Axial slice. Slice 88 of 155.
FLAIR MR image.
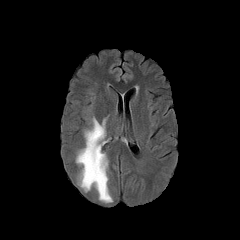
T1-weighted MR.
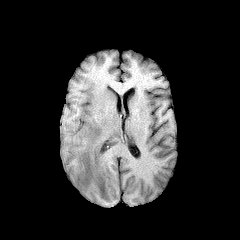
Post-contrast T1-weighted magnetic resonance.
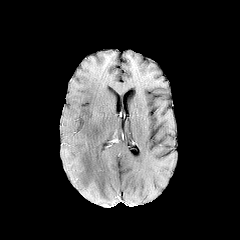
T2-weighted magnetic resonance.
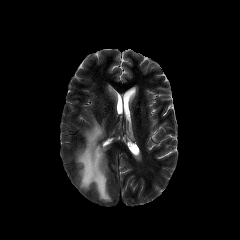
The peritumoral edema is located at (76, 114, 112, 202).